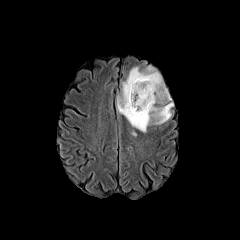
FLAIR MRI.
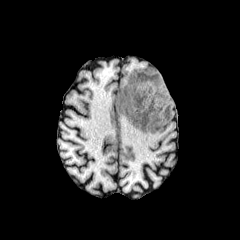
Same slice, T1-weighted MRI.
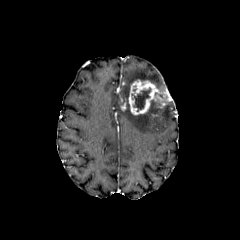
Same slice, post-contrast T1-weighted magnetic resonance.
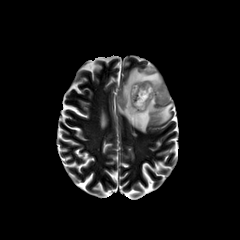
Same slice, T2-weighted MR image.
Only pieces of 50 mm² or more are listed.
{"enhancing_tumor": ["region(128, 79, 168, 115)"], "peritumoral_edema": ["region(116, 96, 173, 132)", "region(122, 66, 163, 101)"], "necrotic_tumor_core": ["region(133, 88, 150, 111)"]}